240x240 px, Image width 240 mm, 1.00 mm slice spacing, Head
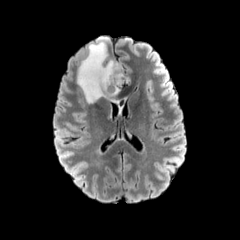
FLAIR magnetic resonance.
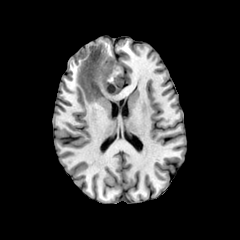
T1-weighted MRI of the same slice.
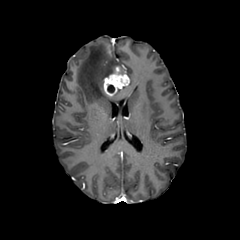
Post-contrast T1-weighted MR image of the same slice.
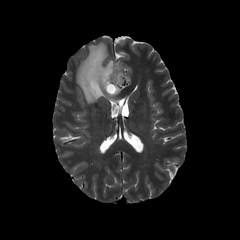
Same slice, T2-weighted MR image.
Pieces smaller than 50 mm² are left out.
enhancing tumor: bbox=[103, 66, 129, 96]
peritumoral edema: bbox=[77, 37, 118, 103]
necrotic tumor core: bbox=[107, 85, 114, 92]